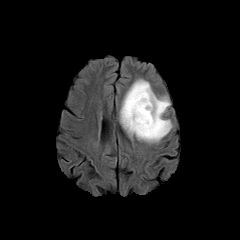
FLAIR MRI.
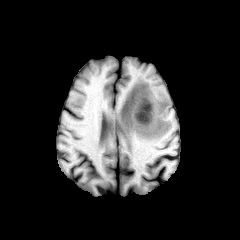
T1-weighted MRI.
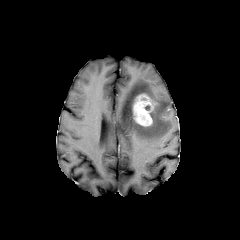
Post-contrast T1-weighted MRI.
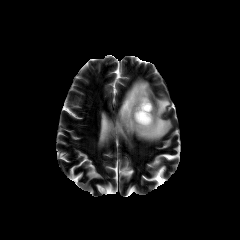
T2-weighted magnetic resonance of the same slice.
Brain, Image size 240x240
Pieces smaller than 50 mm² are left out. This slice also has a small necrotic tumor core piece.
peritumoral edema: bounding box x1=119 y1=79 x2=172 y2=142
enhancing tumor: bounding box x1=133 y1=94 x2=156 y2=126